Brain | Axial view | Slice 136/155
FLAIR magnetic resonance.
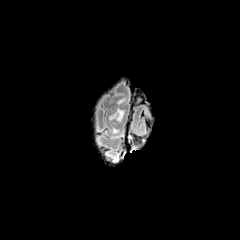
T1-weighted magnetic resonance.
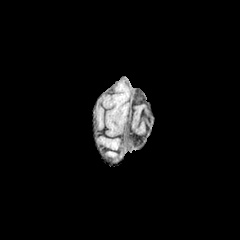
Post-contrast T1-weighted MRI.
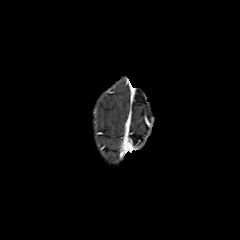
T2-weighted MRI.
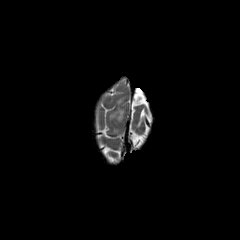
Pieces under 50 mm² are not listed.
The largest peritumoral edema region appears at (x1=109, y1=107, x2=124, y2=124).